Head.
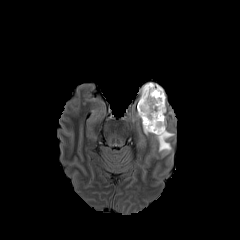
FLAIR MRI.
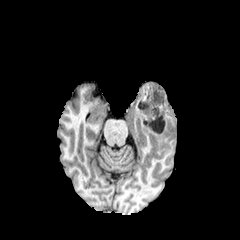
T1-weighted MR image.
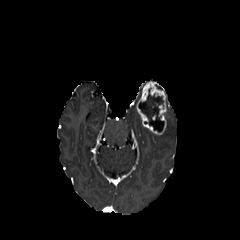
Post-contrast T1-weighted magnetic resonance.
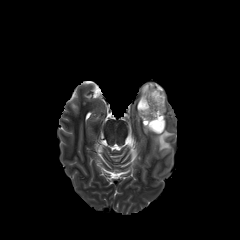
Same slice, T2-weighted MRI.
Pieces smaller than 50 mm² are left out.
necrotic tumor core: (left=138, top=88, right=164, bottom=131) | peritumoral edema: (left=154, top=129, right=174, bottom=156) | enhancing tumor: (left=137, top=81, right=166, bottom=134)